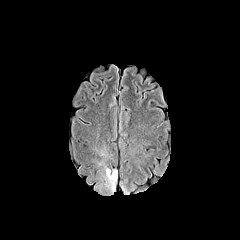
FLAIR MR.
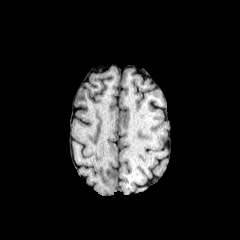
Same slice, T1-weighted MR.
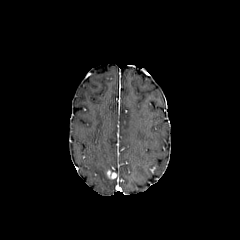
Post-contrast T1-weighted MR image.
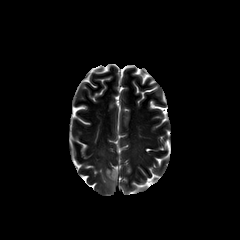
T2-weighted MR image.
Brain; 240x240
Segmented structures:
- peritumoral edema: bbox(92, 144, 117, 193)
- enhancing tumor: bbox(106, 170, 116, 178)